Head; Slice 79 of 155; Image size 240x240
FLAIR MR.
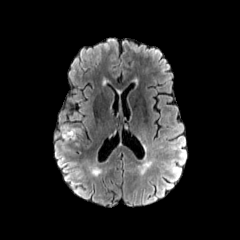
T1-weighted MR.
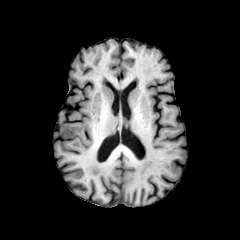
Post-contrast T1-weighted MRI.
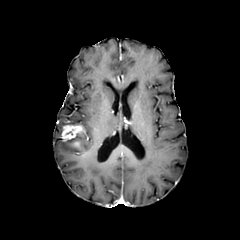
T2-weighted MR.
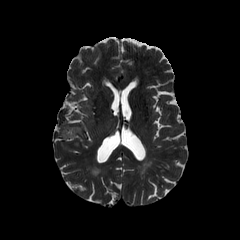
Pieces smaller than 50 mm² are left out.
enhancing tumor: rect(61, 125, 83, 140)